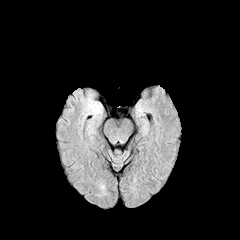
FLAIR MR image.
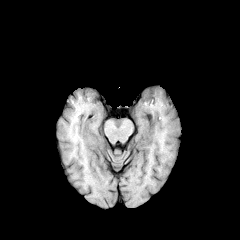
T1-weighted MR image.
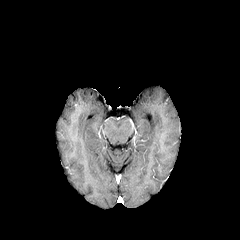
Post-contrast T1-weighted MR image.
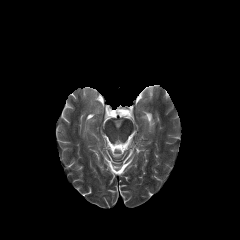
T2-weighted MRI.
Head | 240x240 px
peritumoral edema — bbox=[88, 101, 100, 113]